Brain; Axial view
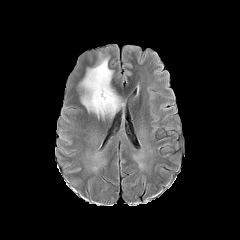
FLAIR MR image.
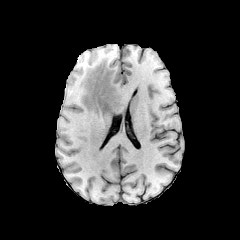
T1-weighted magnetic resonance of the same slice.
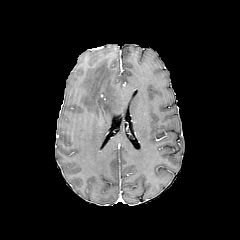
Same slice, post-contrast T1-weighted magnetic resonance.
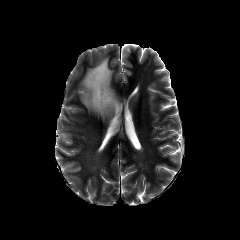
T2-weighted MR image.
peritumoral edema: {"x1": 77, "y1": 57, "x2": 124, "y2": 117}